Image covers 240 mm x 240 mm. Slice 57/155.
FLAIR MR image.
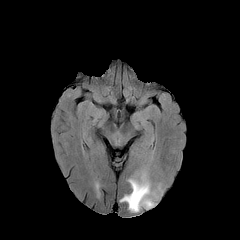
T1-weighted magnetic resonance.
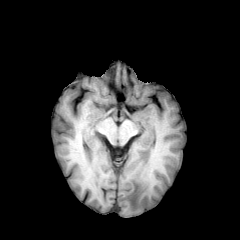
Post-contrast T1-weighted MR.
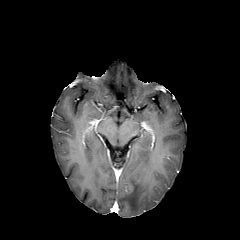
T2-weighted MR.
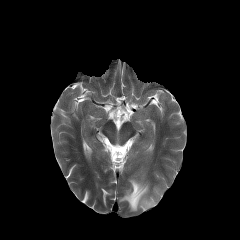
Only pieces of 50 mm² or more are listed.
<segmentation>
  <peritumoral_edema>box(120, 173, 155, 211)</peritumoral_edema>
</segmentation>